FLAIR MRI.
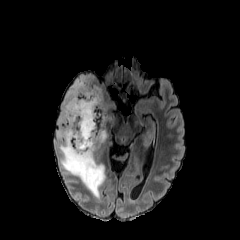
T1-weighted MR image.
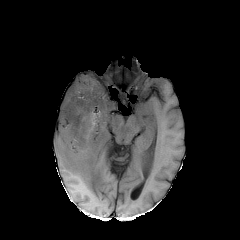
Post-contrast T1-weighted magnetic resonance.
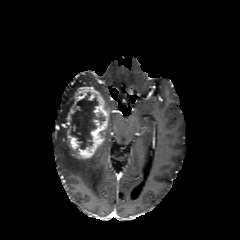
T2-weighted MR.
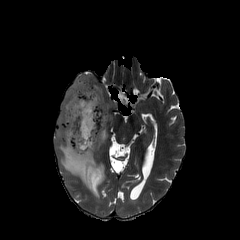
Axial plane
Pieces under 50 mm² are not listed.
Annotated regions:
• necrotic tumor core: (71, 93, 104, 148)
• enhancing tumor: (67, 87, 109, 159)
• peritumoral edema: (56, 75, 105, 198)